Image covers 240 mm x 240 mm; Head; Slice 45 of 155
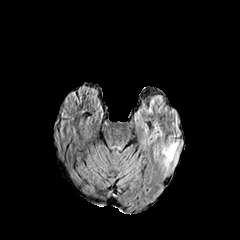
FLAIR MR.
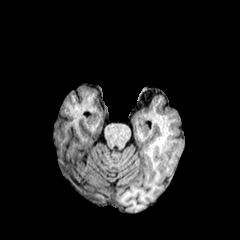
T1-weighted MR image.
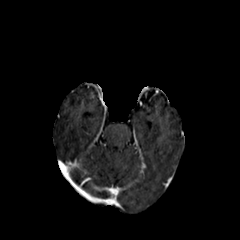
Same slice, post-contrast T1-weighted MRI.
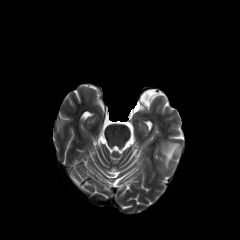
T2-weighted magnetic resonance of the same slice.
<segmentation>
  <peritumoral_edema>x1=162, y1=142, x2=181, y2=169</peritumoral_edema>
</segmentation>